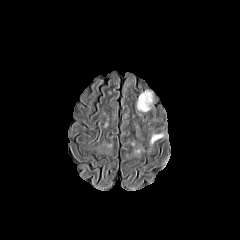
FLAIR MR image.
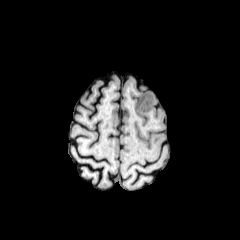
Same slice, T1-weighted magnetic resonance.
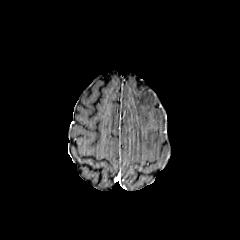
Post-contrast T1-weighted MR.
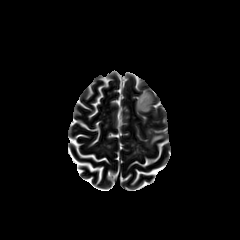
Same slice, T2-weighted MR image.
Brain; Axial slice; Image size 240x240
• peritumoral edema: box=[137, 90, 153, 111]; box=[151, 134, 162, 143]